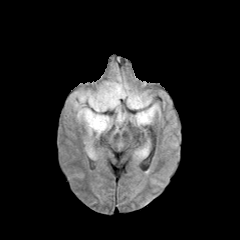
FLAIR MRI.
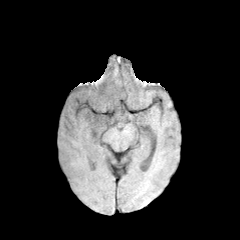
T1-weighted MR of the same slice.
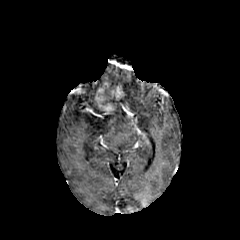
Same slice, post-contrast T1-weighted MR image.
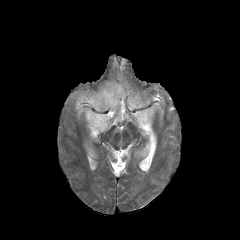
T2-weighted MR of the same slice.
Brain.
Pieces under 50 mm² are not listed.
The necrotic tumor core appears at (102, 85, 116, 104). The enhancing tumor is at (94, 82, 124, 114). The 5 largest peritumoral edema regions appear at (70, 90, 127, 138), (129, 104, 158, 126), (105, 71, 151, 109), (85, 141, 95, 158), (135, 148, 147, 157).